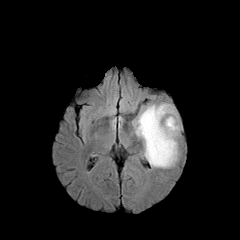
FLAIR magnetic resonance.
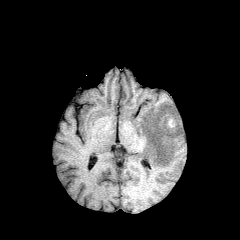
T1-weighted magnetic resonance of the same slice.
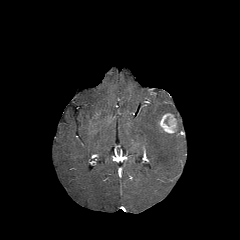
Same slice, post-contrast T1-weighted MRI.
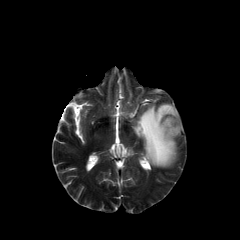
T2-weighted MR.
Axial view
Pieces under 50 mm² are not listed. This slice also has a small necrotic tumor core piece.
Segmented structures:
• peritumoral edema: 133 103 181 168
• enhancing tumor: 158 113 177 133